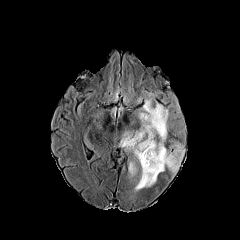
FLAIR magnetic resonance.
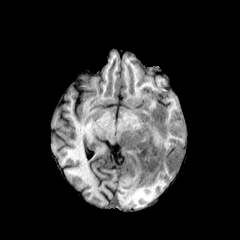
T1-weighted MR of the same slice.
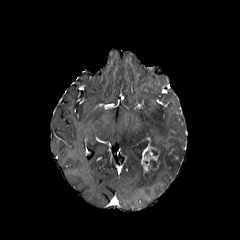
Same slice, post-contrast T1-weighted MR.
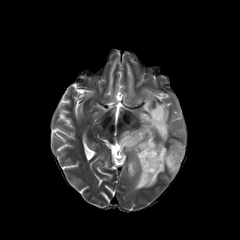
Same slice, T2-weighted magnetic resonance.
Head.
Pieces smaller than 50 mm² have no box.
necrotic tumor core — {"x1": 150, "y1": 159, "x2": 157, "y2": 168}
enhancing tumor — {"x1": 141, "y1": 144, "x2": 160, "y2": 175}
peritumoral edema — {"x1": 128, "y1": 161, "x2": 137, "y2": 176}, {"x1": 119, "y1": 98, "x2": 184, "y2": 190}